Axial view; 240x240 px; Slice 75/155
FLAIR MR image.
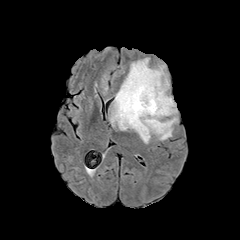
T1-weighted MR.
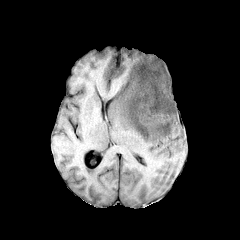
Post-contrast T1-weighted MR.
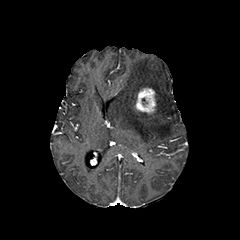
T2-weighted MRI.
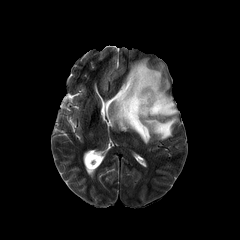
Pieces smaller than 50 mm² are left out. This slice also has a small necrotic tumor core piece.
Segmented structures:
* enhancing tumor: 128 87 156 114
* peritumoral edema: 110 58 178 143